Axial slice | Slice 33/155 | Brain
FLAIR MR.
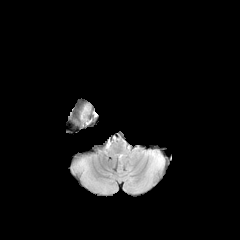
T1-weighted MRI.
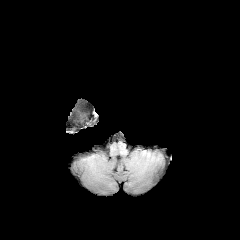
Post-contrast T1-weighted MRI.
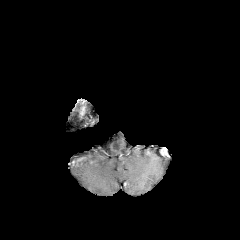
T2-weighted MRI.
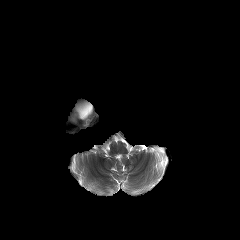
{"peritumoral_edema": [{"x1": 81, "y1": 107, "x2": 89, "y2": 117}]}